Axial slice; Slice index 105; Head
FLAIR MR.
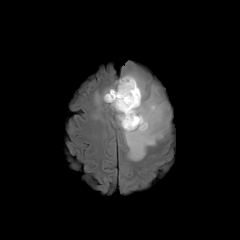
T1-weighted MRI.
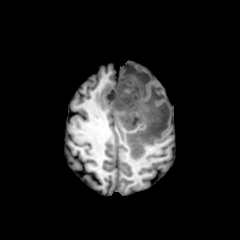
Post-contrast T1-weighted magnetic resonance.
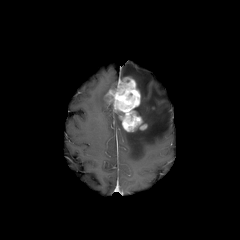
T2-weighted MRI.
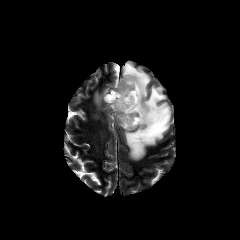
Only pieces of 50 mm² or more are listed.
enhancing tumor — left=105, top=77, right=147, bottom=131
peritumoral edema — left=95, top=81, right=117, bottom=109; left=116, top=64, right=170, bottom=160
necrotic tumor core — left=107, top=92, right=118, bottom=101